Image size 240x240; Axial view
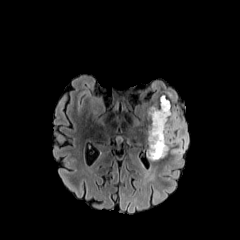
FLAIR MR image.
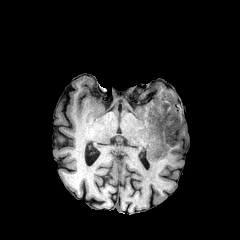
Same slice, T1-weighted MRI.
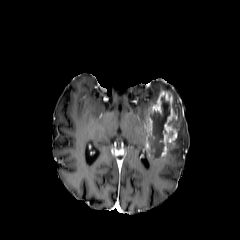
Post-contrast T1-weighted MRI of the same slice.
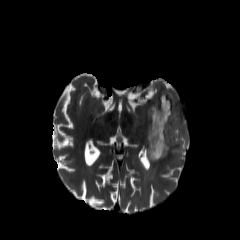
Same slice, T2-weighted MRI.
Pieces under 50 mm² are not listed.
necrotic tumor core: bounding box x1=148, y1=97, x2=169, y2=158
enhancing tumor: bounding box x1=145, y1=90, x2=179, y2=161
peritumoral edema: bounding box x1=147, y1=80, x2=189, y2=167